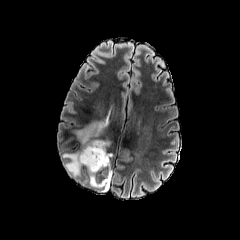
FLAIR MR.
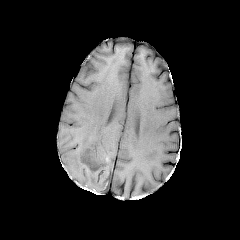
T1-weighted MR image.
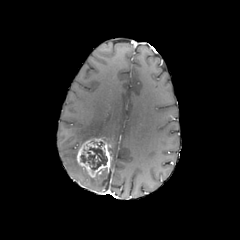
Same slice, post-contrast T1-weighted MRI.
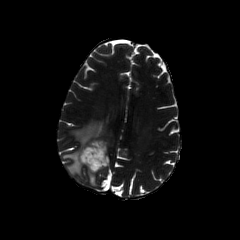
Same slice, T2-weighted MR image.
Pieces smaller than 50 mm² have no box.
The largest necrotic tumor core region appears at 80, 141, 107, 170. The 3 largest peritumoral edema regions are located at 89, 168, 111, 188; 62, 151, 82, 176; 74, 122, 106, 144. The largest enhancing tumor region is at 76, 137, 111, 178.